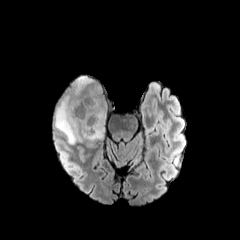
FLAIR MR image.
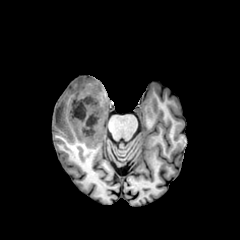
T1-weighted magnetic resonance.
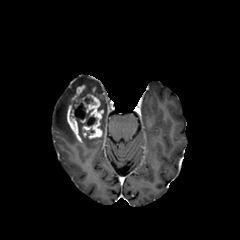
Post-contrast T1-weighted MR image of the same slice.
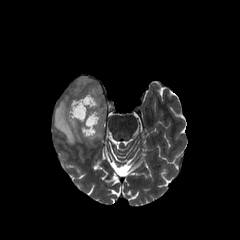
T2-weighted MRI of the same slice.
Head, Axial view
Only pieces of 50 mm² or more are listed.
The enhancing tumor is at region(67, 85, 103, 142). The 2 largest peritumoral edema regions are bounded by region(73, 76, 106, 140); region(54, 95, 77, 144). The 2 largest necrotic tumor core regions are bounded by region(87, 117, 95, 125); region(74, 103, 85, 119).